Slice 36 of 155 | 240x240 px
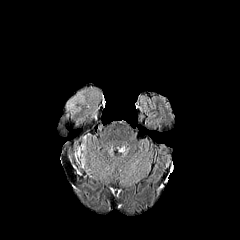
FLAIR MRI.
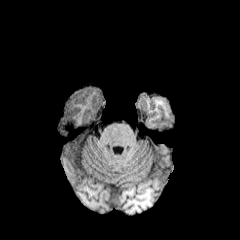
T1-weighted MR.
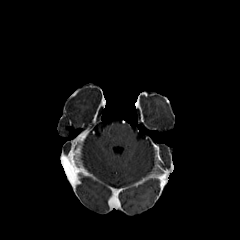
Post-contrast T1-weighted MRI.
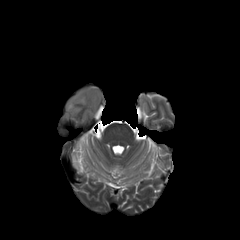
T2-weighted magnetic resonance.
{"peritumoral_edema": ["box=[90, 90, 99, 99]", "box=[67, 91, 85, 114]"]}